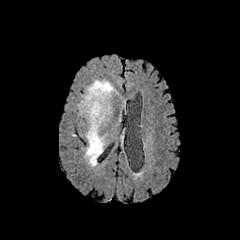
FLAIR MR.
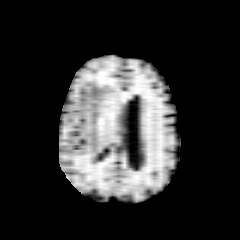
T1-weighted MR.
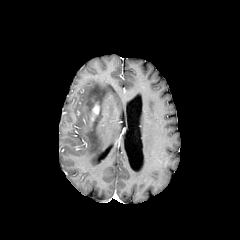
Post-contrast T1-weighted magnetic resonance of the same slice.
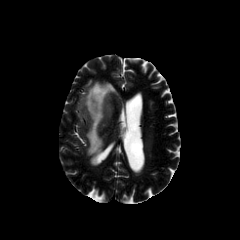
Same slice, T2-weighted MR.
Axial plane, Head
The enhancing tumor appears at (x1=91, y1=105, x2=99, y2=120). The peritumoral edema appears at (x1=78, y1=80, x2=117, y2=165).